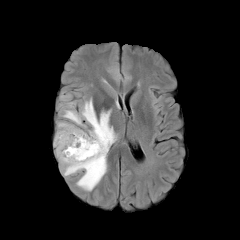
FLAIR MRI.
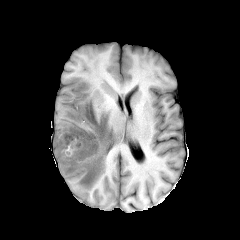
T1-weighted MR image.
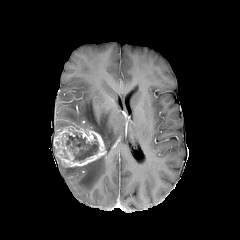
Post-contrast T1-weighted MR image of the same slice.
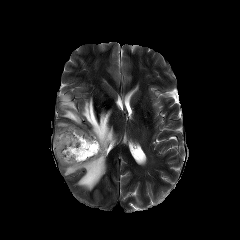
T2-weighted MR.
The enhancing tumor is at left=53, top=126, right=106, bottom=167. The necrotic tumor core is at left=67, top=138, right=97, bottom=160. 2 peritumoral edema regions are located at left=61, top=153, right=107, bottom=191; left=58, top=95, right=116, bottom=150.